Image width 240 mm, 1.00 mm slice spacing, Axial view
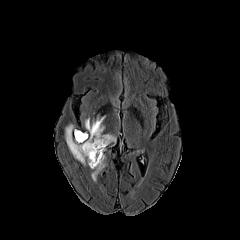
FLAIR MR image.
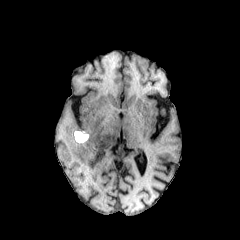
Same slice, T1-weighted MRI.
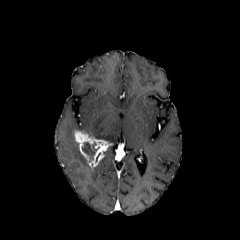
Same slice, post-contrast T1-weighted MR image.
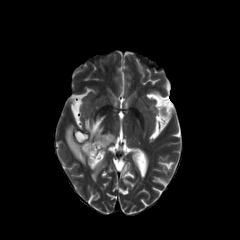
Same slice, T2-weighted MR image.
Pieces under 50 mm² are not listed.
3 peritumoral edema regions are located at x1=84, y1=116, x2=116, y2=142; x1=91, y1=156, x2=106, y2=181; x1=65, y1=124, x2=88, y2=165. The largest necrotic tumor core region is bounded by x1=82, y1=142, x2=97, y2=155. The enhancing tumor is located at x1=78, y1=136, x2=110, y2=168.